FLAIR MR image.
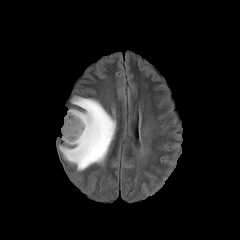
T1-weighted MR.
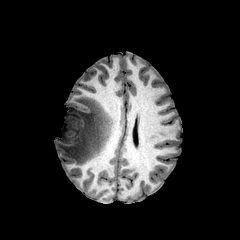
Post-contrast T1-weighted MR image.
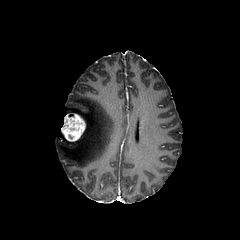
T2-weighted MR image.
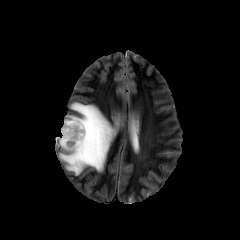
240x240.
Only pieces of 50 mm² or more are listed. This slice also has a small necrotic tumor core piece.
peritumoral edema: box=[58, 96, 116, 170] | enhancing tumor: box=[61, 113, 85, 141]